Axial view; Image width 240 mm; 240x240
FLAIR MR image.
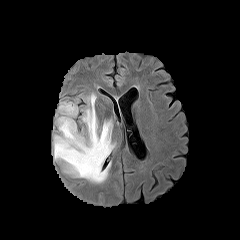
T1-weighted magnetic resonance.
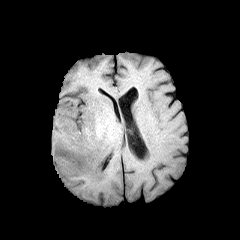
Post-contrast T1-weighted MR.
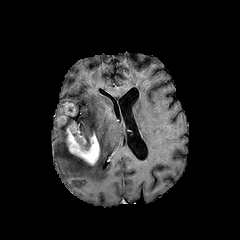
T2-weighted MR.
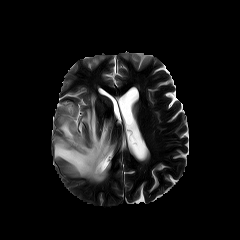
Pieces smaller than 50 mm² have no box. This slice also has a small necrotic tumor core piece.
peritumoral edema at left=54, top=93, right=115, bottom=182
enhancing tumor at left=66, top=121, right=99, bottom=165; left=57, top=102, right=76, bottom=124